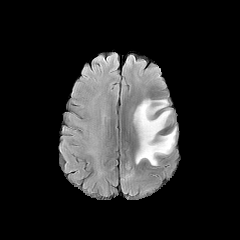
FLAIR magnetic resonance.
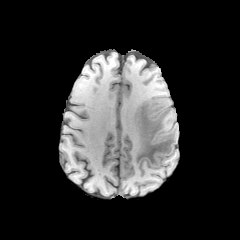
T1-weighted MRI.
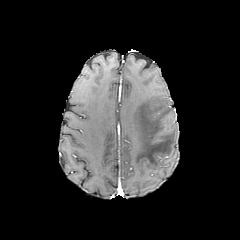
Same slice, post-contrast T1-weighted MR.
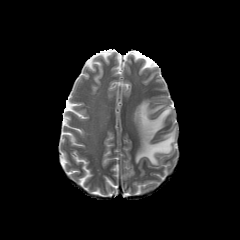
T2-weighted magnetic resonance.
Brain; Axial view
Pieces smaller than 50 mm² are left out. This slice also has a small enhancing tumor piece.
{
  "peritumoral_edema": [
    "x1=133, y1=99, x2=176, y2=165"
  ]
}